FLAIR MR image.
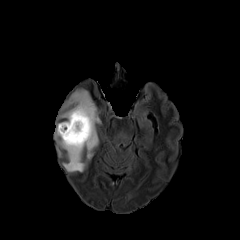
T1-weighted MRI.
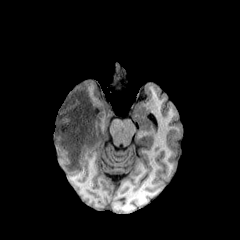
Post-contrast T1-weighted MR image.
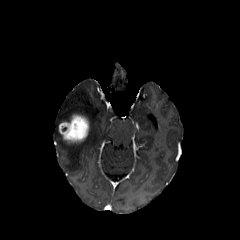
T2-weighted MR image.
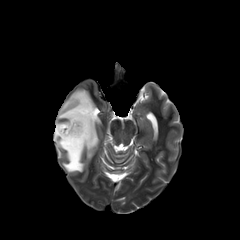
Axial slice, 240x240
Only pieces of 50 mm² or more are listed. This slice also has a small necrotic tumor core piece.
<segmentation>
  <enhancing_tumor>box(58, 114, 89, 142)</enhancing_tumor>
  <peritumoral_edema>box(54, 88, 100, 172)</peritumoral_edema>
</segmentation>